Image covers 240 mm x 240 mm, Slice index 31
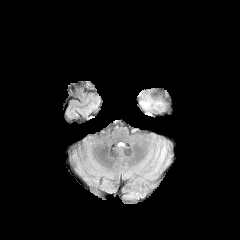
FLAIR MRI.
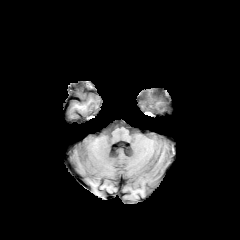
T1-weighted MR.
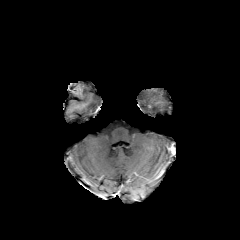
Same slice, post-contrast T1-weighted MRI.
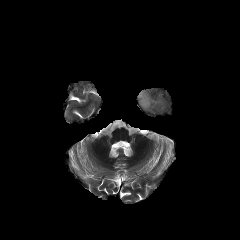
T2-weighted MRI of the same slice.
<segmentation>
  <peritumoral_edema>(137, 88, 172, 116)</peritumoral_edema>
</segmentation>